Axial view; Slice 78 of 155
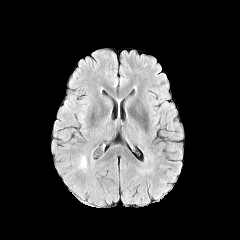
FLAIR MR.
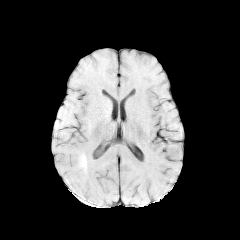
T1-weighted MRI of the same slice.
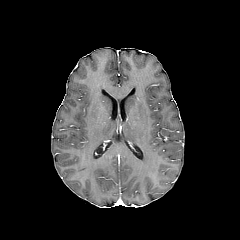
Post-contrast T1-weighted magnetic resonance.
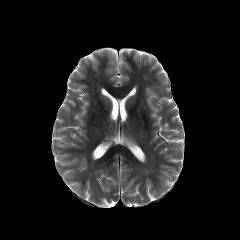
Same slice, T2-weighted MR image.
peritumoral edema: (78,156,86,170)